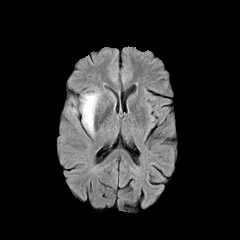
FLAIR magnetic resonance.
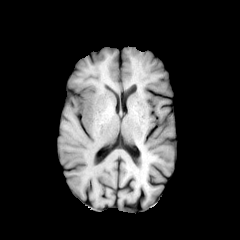
T1-weighted magnetic resonance.
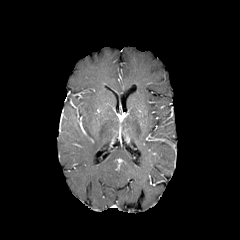
Same slice, post-contrast T1-weighted magnetic resonance.
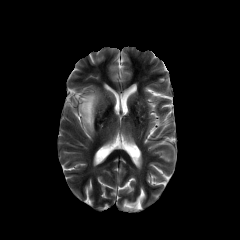
T2-weighted magnetic resonance of the same slice.
Brain.
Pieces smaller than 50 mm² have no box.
peritumoral edema at <box>80,90,100,134</box>